Head; Image size 240x240; Slice 100 of 155
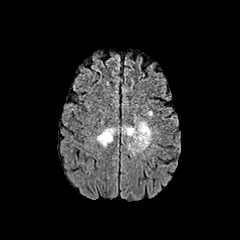
FLAIR MR image.
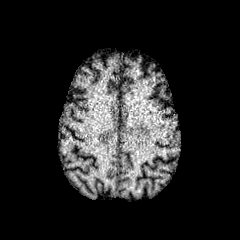
T1-weighted MR of the same slice.
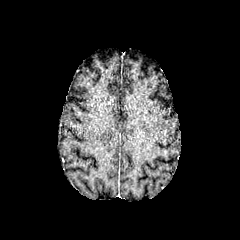
Post-contrast T1-weighted MRI of the same slice.
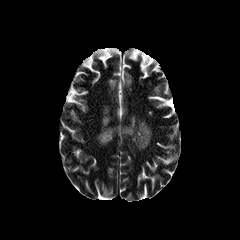
T2-weighted MR.
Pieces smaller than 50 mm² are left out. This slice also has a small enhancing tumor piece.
peritumoral edema at 122 120 152 153, 97 128 117 146